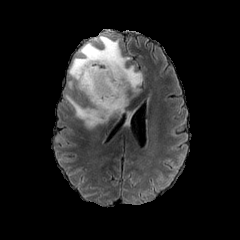
FLAIR MRI.
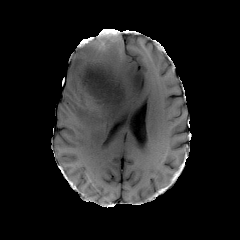
T1-weighted MR image.
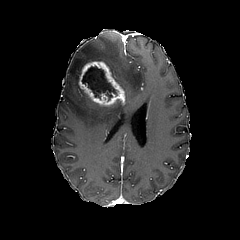
Post-contrast T1-weighted MR image.
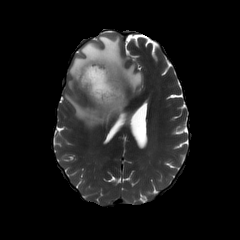
Same slice, T2-weighted MR image.
Head | Axial view
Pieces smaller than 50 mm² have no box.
peritumoral edema — <bbox>65, 35, 142, 128</bbox>
necrotic tumor core — <bbox>82, 66, 116, 98</bbox>
enhancing tumor — <bbox>78, 59, 126, 107</bbox>